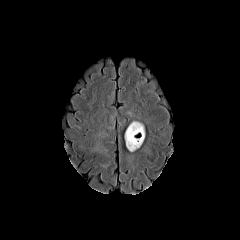
FLAIR MRI.
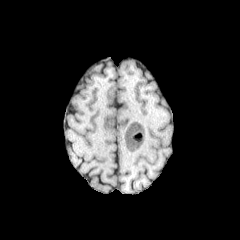
T1-weighted MR.
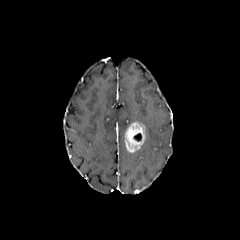
Post-contrast T1-weighted magnetic resonance.
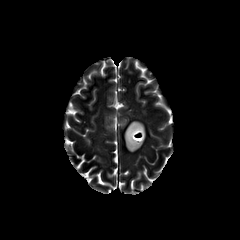
T2-weighted MRI.
240x240. Brain.
Findings:
• necrotic tumor core: (134, 133, 141, 141)
• enhancing tumor: (124, 121, 145, 152)